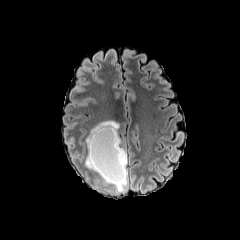
FLAIR magnetic resonance.
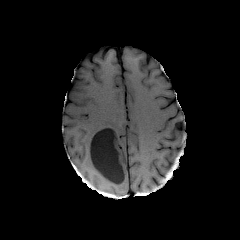
T1-weighted MR image.
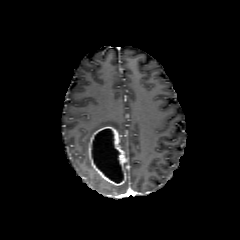
Post-contrast T1-weighted MRI.
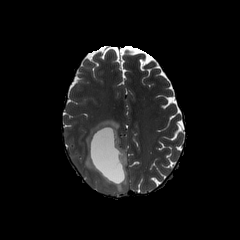
T2-weighted magnetic resonance.
Image size 240x240 | Head
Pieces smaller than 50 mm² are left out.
necrotic tumor core at rect(92, 129, 123, 183)
enhancing tumor at rect(88, 126, 127, 185)
peritumoral edema at rect(85, 120, 119, 150); rect(85, 154, 127, 192)